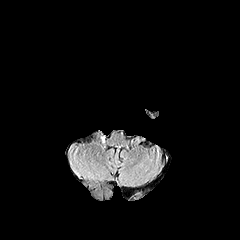
FLAIR MR image.
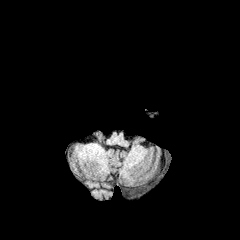
T1-weighted MR image.
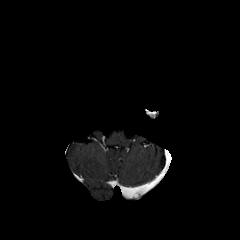
Post-contrast T1-weighted magnetic resonance.
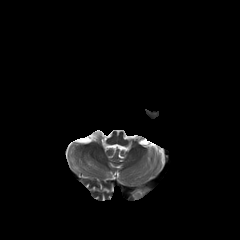
T2-weighted MR.
Axial plane
enhancing tumor: bbox(133, 185, 150, 198)